Image covers 240 mm x 240 mm
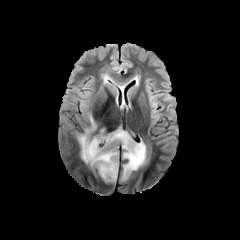
FLAIR MR.
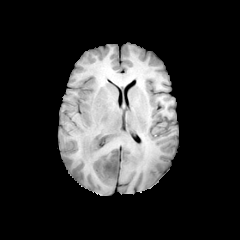
T1-weighted MR.
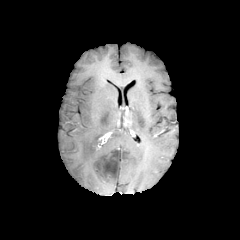
Same slice, post-contrast T1-weighted MRI.
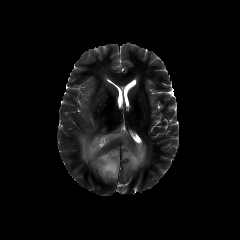
T2-weighted MRI.
{"necrotic_tumor_core": ["region(104, 151, 118, 173)"], "peritumoral_edema": ["region(78, 115, 146, 181)"]}